Slice 37 of 155; Head
FLAIR MRI.
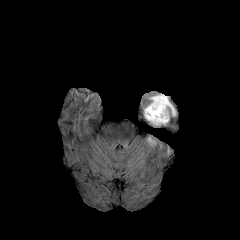
T1-weighted MRI.
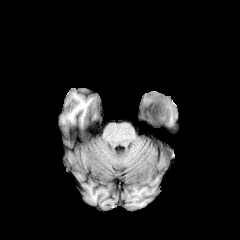
Post-contrast T1-weighted MRI.
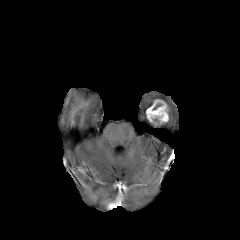
T2-weighted MR image.
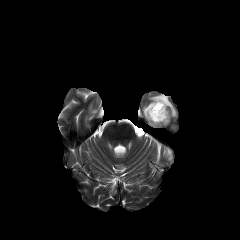
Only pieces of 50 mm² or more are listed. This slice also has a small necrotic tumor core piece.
Annotated regions:
* peritumoral edema: 143 94 176 125
* enhancing tumor: 146 99 168 126